Slice index 61. Axial plane. Head. Image width 240 mm, 1.00 mm slice spacing.
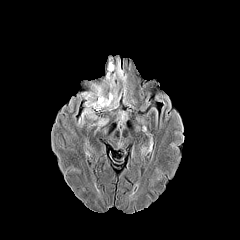
FLAIR MR image.
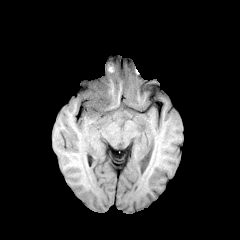
T1-weighted magnetic resonance.
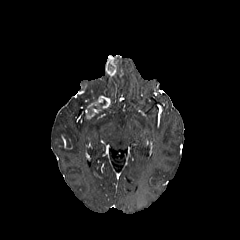
Post-contrast T1-weighted MR image of the same slice.
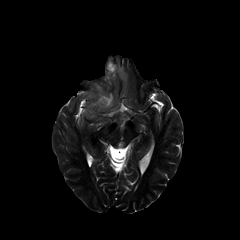
T2-weighted MRI.
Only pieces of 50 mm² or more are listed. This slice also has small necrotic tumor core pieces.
peritumoral edema: <box>93,119,107,126</box>, <box>119,111,126,124</box>, <box>83,84,103,107</box>, <box>106,61,126,87</box>, <box>108,92,118,110</box> | enhancing tumor: <box>106,55,117,76</box>, <box>84,95,110,119</box>